240x240 px | Head | Axial slice
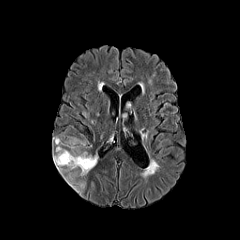
FLAIR MR image.
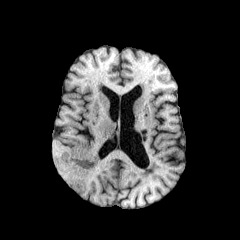
Same slice, T1-weighted MRI.
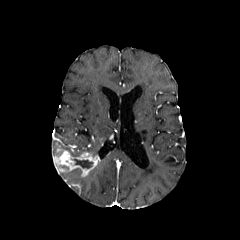
Post-contrast T1-weighted MR image.
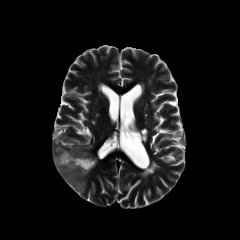
T2-weighted magnetic resonance of the same slice.
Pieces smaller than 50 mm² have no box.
* necrotic tumor core: left=74, top=159, right=92, bottom=168
* peritumoral edema: left=66, top=137, right=87, bottom=155; left=57, top=169, right=85, bottom=192
* enhancing tumor: left=53, top=145, right=98, bottom=176